Axial view; Brain
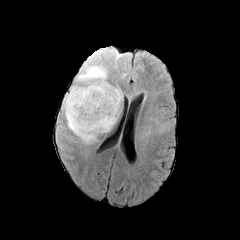
FLAIR MR.
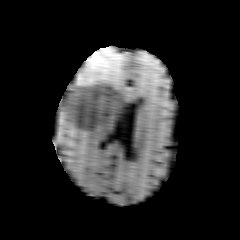
Same slice, T1-weighted MRI.
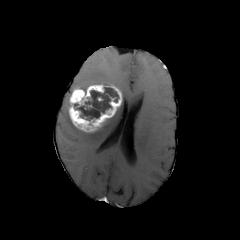
Post-contrast T1-weighted magnetic resonance of the same slice.
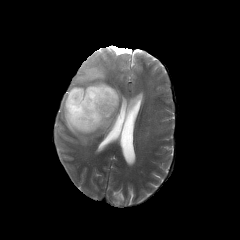
T2-weighted MR image of the same slice.
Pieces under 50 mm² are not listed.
peritumoral edema: bounding box (62,93,123,144), (69,63,106,92)
necrotic tumor core: bounding box (77,88,118,118)
enhancing tumor: bounding box (67,83,122,132)